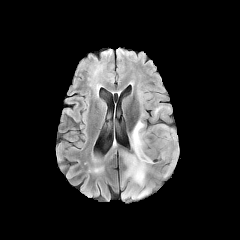
FLAIR MRI.
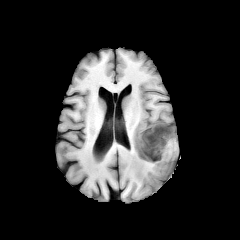
T1-weighted MR.
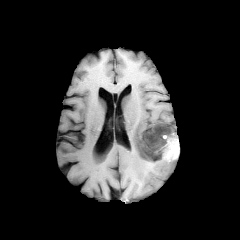
Post-contrast T1-weighted magnetic resonance.
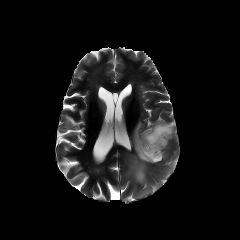
T2-weighted MR.
Brain | Axial plane
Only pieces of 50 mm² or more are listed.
Findings:
* enhancing tumor: left=138, top=124, right=178, bottom=160
* necrotic tumor core: left=139, top=125, right=173, bottom=159
* peritumoral edema: left=171, top=127, right=178, bottom=148; left=161, top=159, right=176, bottom=177; left=125, top=119, right=159, bottom=185; left=133, top=188, right=149, bottom=197